Axial plane; Slice 45/155; 240x240
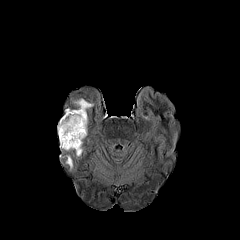
FLAIR magnetic resonance.
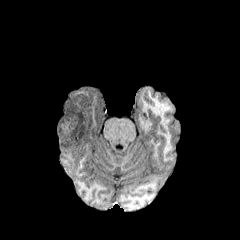
Same slice, T1-weighted MRI.
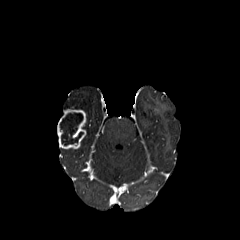
Post-contrast T1-weighted magnetic resonance.
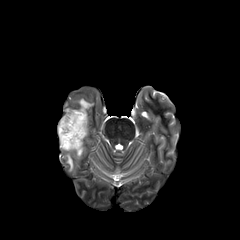
T2-weighted MR image.
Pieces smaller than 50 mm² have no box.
Segmented structures:
• necrotic tumor core: region(60, 112, 83, 145)
• peritumoral edema: region(66, 155, 73, 170); region(75, 141, 83, 156); region(73, 98, 93, 130)
• enhancing tumor: region(57, 109, 86, 149)